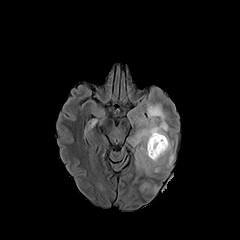
FLAIR MR.
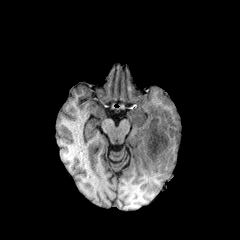
T1-weighted MRI.
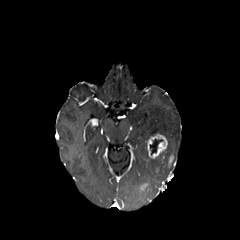
Post-contrast T1-weighted MRI.
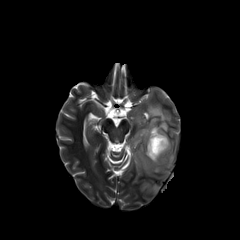
T2-weighted magnetic resonance.
Axial slice. Head.
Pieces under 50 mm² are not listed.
The necrotic tumor core appears at 150:139:163:154. The peritumoral edema appears at 131:87:175:196. The largest enhancing tumor region is at 147:133:167:158.